Slice index 105. Axial view.
FLAIR magnetic resonance.
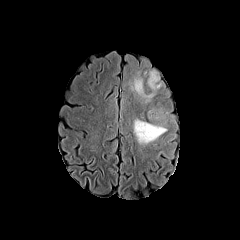
T1-weighted magnetic resonance.
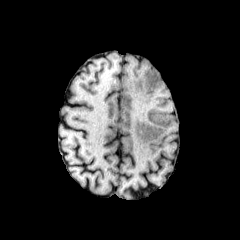
Post-contrast T1-weighted magnetic resonance.
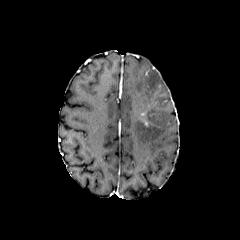
T2-weighted MRI.
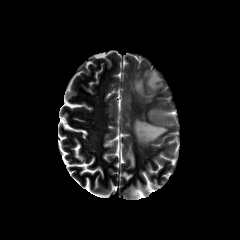
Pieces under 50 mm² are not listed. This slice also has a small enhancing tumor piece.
peritumoral edema: bounding box bbox=[133, 119, 167, 144]; bbox=[131, 70, 161, 100]